Slice 83/155, Head
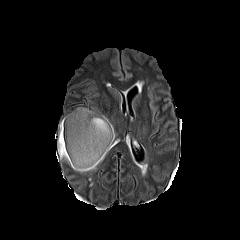
FLAIR MRI.
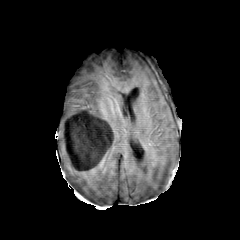
T1-weighted MRI of the same slice.
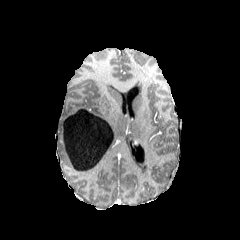
Post-contrast T1-weighted MRI.
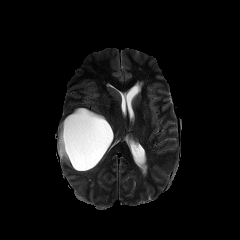
T2-weighted MRI.
The necrotic tumor core lies within bbox=[60, 109, 113, 170]. The peritumoral edema is at bbox=[57, 107, 116, 172].